Brain | Slice 60 of 155
FLAIR MR image.
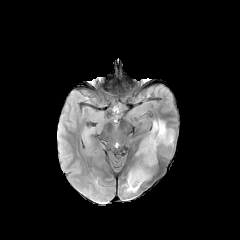
T1-weighted magnetic resonance.
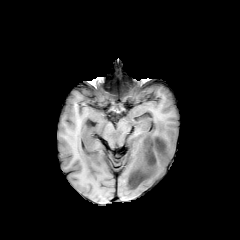
Post-contrast T1-weighted MR.
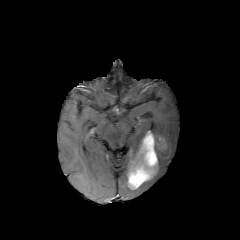
T2-weighted MRI.
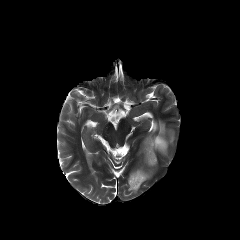
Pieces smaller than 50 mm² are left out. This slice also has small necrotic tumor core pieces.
peritumoral edema at [150, 120, 173, 144], [126, 179, 138, 192]
enhancing tumor at [128, 132, 171, 189]